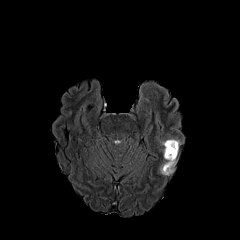
FLAIR MRI.
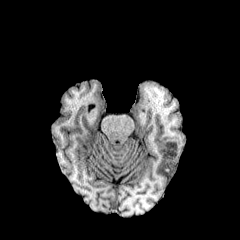
T1-weighted MR.
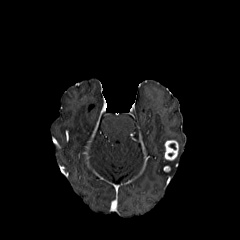
Post-contrast T1-weighted magnetic resonance.
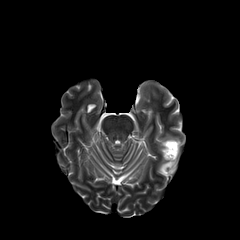
T2-weighted MRI.
Axial plane. 240x240.
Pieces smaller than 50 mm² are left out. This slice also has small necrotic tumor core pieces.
peritumoral_edema:
  - {"x1": 160, "y1": 134, "x2": 183, "y2": 155}
  - {"x1": 159, "y1": 158, "x2": 177, "y2": 175}
enhancing_tumor:
  - {"x1": 164, "y1": 140, "x2": 178, "y2": 160}